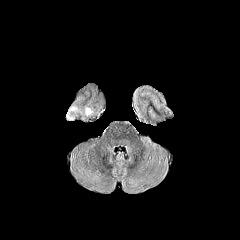
FLAIR MR image.
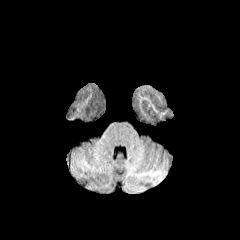
T1-weighted MR image.
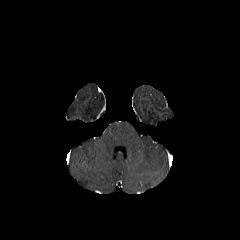
Post-contrast T1-weighted MR image.
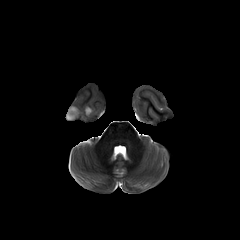
T2-weighted magnetic resonance of the same slice.
Image size 240x240, Brain
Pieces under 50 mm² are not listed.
peritumoral edema = box=[68, 106, 77, 113]